Brain; Slice 71 of 155
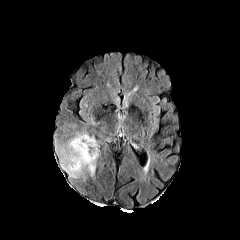
FLAIR magnetic resonance.
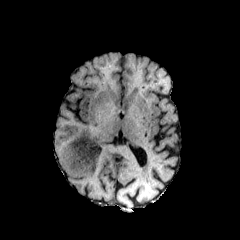
Same slice, T1-weighted MRI.
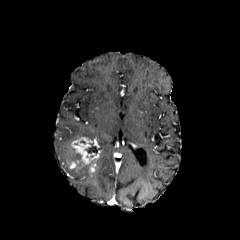
Post-contrast T1-weighted MRI.
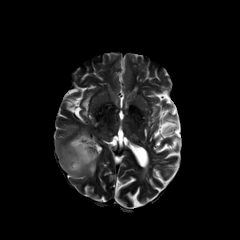
T2-weighted MR image.
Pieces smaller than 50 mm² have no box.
peritumoral edema: x1=59, y1=132, x2=99, y2=179 | necrotic tumor core: x1=85, y1=143, x2=97, y2=153 | enhancing tumor: x1=69, y1=137, x2=99, y2=163